Slice 108 of 155, Image width 240 mm, 1.00 mm slice spacing, Brain
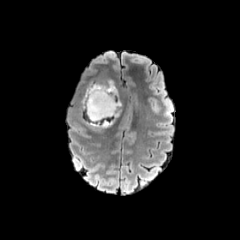
FLAIR magnetic resonance.
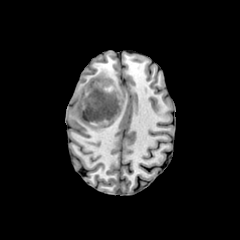
Same slice, T1-weighted MR.
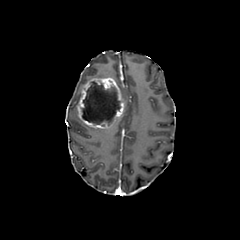
Post-contrast T1-weighted MRI.
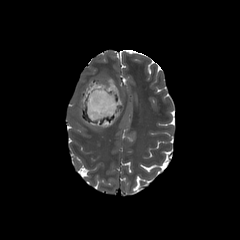
T2-weighted MRI.
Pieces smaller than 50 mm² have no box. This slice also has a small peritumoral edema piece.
Annotated regions:
- enhancing tumor: 76 77 124 128
- necrotic tumor core: 82 81 120 125